FLAIR MR.
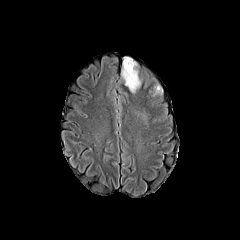
T1-weighted MR.
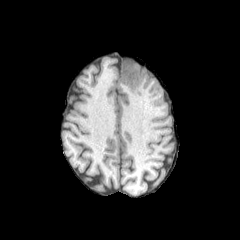
Post-contrast T1-weighted MR.
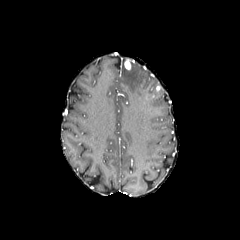
T2-weighted magnetic resonance.
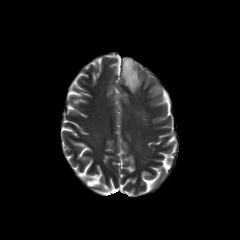
Brain | 240x240 px
The peritumoral edema appears at x1=121 y1=59 x2=141 y2=93. The enhancing tumor appears at x1=124 y1=57 x2=133 y2=69.